FLAIR MRI.
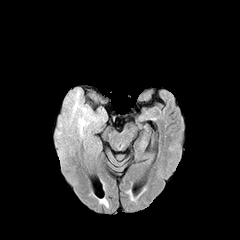
T1-weighted MRI.
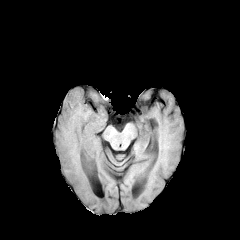
Post-contrast T1-weighted magnetic resonance.
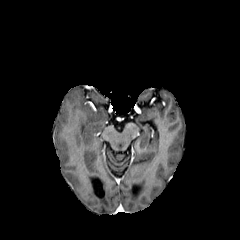
T2-weighted MRI.
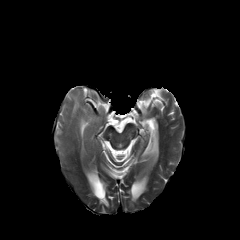
Brain; Axial view
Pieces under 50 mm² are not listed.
peritumoral_edema:
  - {"x1": 56, "y1": 87, "x2": 107, "y2": 139}